FLAIR MR image.
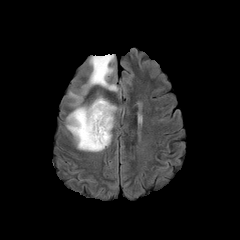
T1-weighted MR.
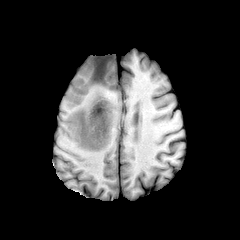
Post-contrast T1-weighted MR image.
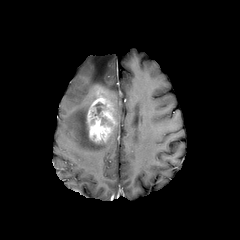
T2-weighted MR.
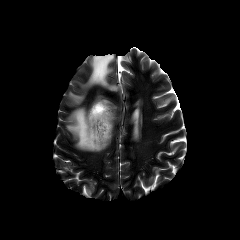
Axial slice
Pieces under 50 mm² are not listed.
<segmentation>
  <peritumoral_edema><bbox>83, 54, 117, 93</bbox>, <bbox>69, 92, 82, 104</bbox>, <bbox>66, 106, 111, 151</bbox></peritumoral_edema>
  <enhancing_tumor><bbox>86, 85, 116, 143</bbox></enhancing_tumor>
  <necrotic_tumor_core><bbox>95, 103, 102, 115</bbox></necrotic_tumor_core>
</segmentation>